FLAIR magnetic resonance.
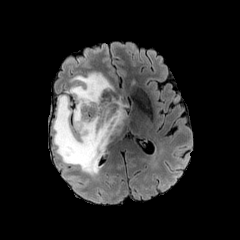
T1-weighted MR.
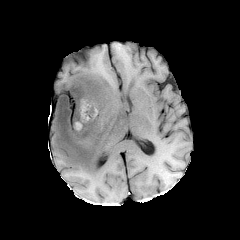
Post-contrast T1-weighted MR image.
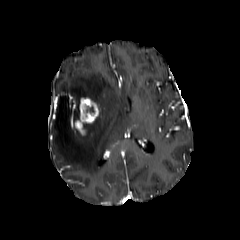
T2-weighted MR.
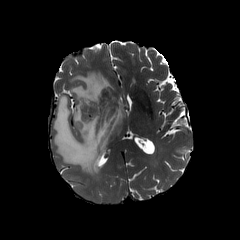
Brain. Axial plane.
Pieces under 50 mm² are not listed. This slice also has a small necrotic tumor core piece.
Findings:
* peritumoral edema: (left=53, top=72, right=129, bottom=176)
* enhancing tumor: (left=75, top=98, right=99, bottom=137)